Axial slice | Head
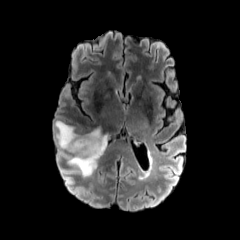
FLAIR MRI.
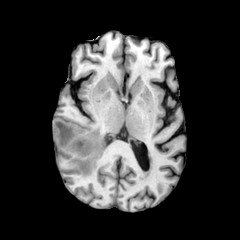
T1-weighted MR.
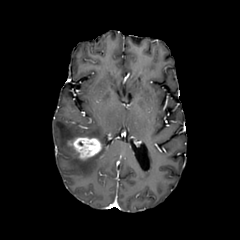
Post-contrast T1-weighted magnetic resonance.
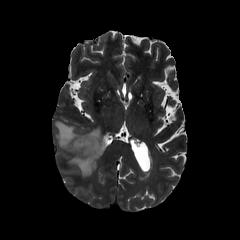
T2-weighted MR.
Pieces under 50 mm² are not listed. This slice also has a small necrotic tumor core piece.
peritumoral_edema:
  - (x1=55, y1=121, x2=107, y2=176)
enhancing_tumor:
  - (x1=69, y1=137, x2=101, y2=158)